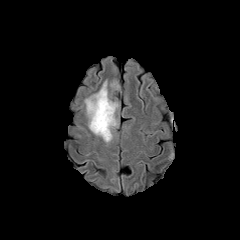
FLAIR magnetic resonance.
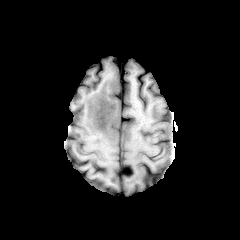
Same slice, T1-weighted magnetic resonance.
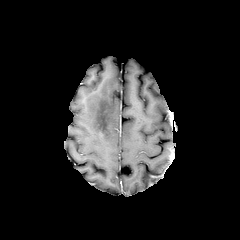
Post-contrast T1-weighted MRI.
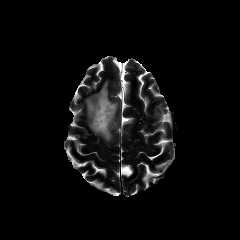
T2-weighted MRI.
240x240 px
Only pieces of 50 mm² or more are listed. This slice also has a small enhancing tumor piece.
{
  "peritumoral_edema": [
    "[85,80,119,142]"
  ]
}